FLAIR magnetic resonance.
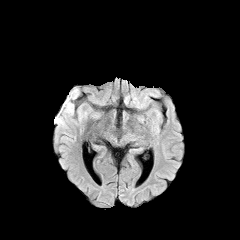
T1-weighted MR.
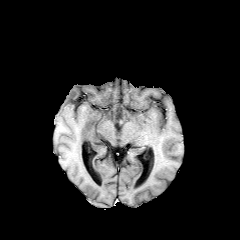
Post-contrast T1-weighted MR image.
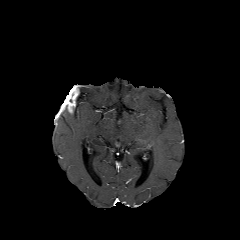
T2-weighted MRI.
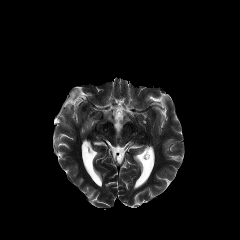
Head
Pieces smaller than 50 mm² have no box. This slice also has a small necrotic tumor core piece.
2 peritumoral edema regions are located at rect(56, 108, 73, 126); rect(78, 109, 86, 120). The enhancing tumor is located at rect(54, 86, 79, 122).